FLAIR MRI.
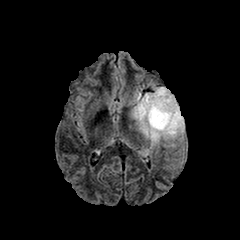
T1-weighted MR image.
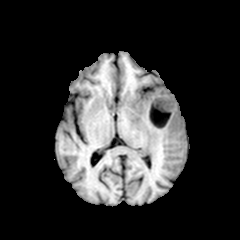
Post-contrast T1-weighted magnetic resonance.
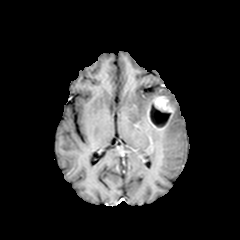
T2-weighted magnetic resonance.
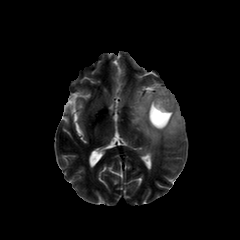
Axial view | Brain
peritumoral edema: bounding box [131, 85, 184, 156]
necrotic tumor core: bounding box [150, 103, 171, 127]
enhancing tumor: bounding box [147, 96, 173, 130]